FLAIR MRI.
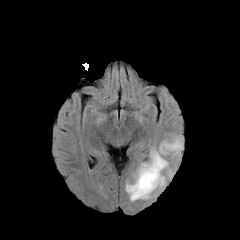
T1-weighted magnetic resonance.
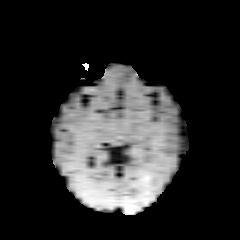
Post-contrast T1-weighted MR image.
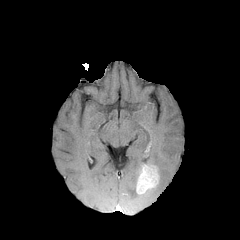
T2-weighted magnetic resonance.
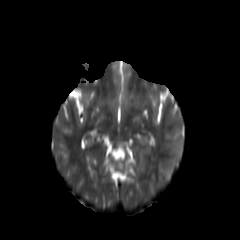
Head
enhancing_tumor:
  - (136, 164, 159, 194)
peritumoral_edema:
  - (125, 133, 182, 201)